FLAIR MRI.
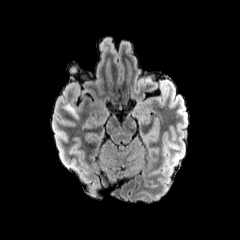
T1-weighted MR image.
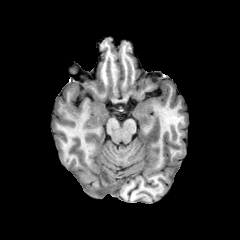
Post-contrast T1-weighted MRI.
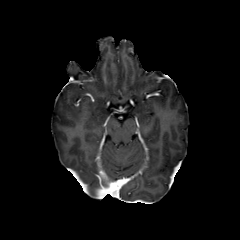
T2-weighted MRI.
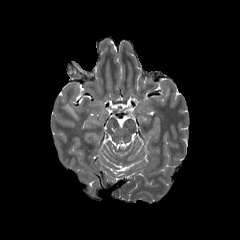
Brain
- peritumoral edema: 63:104:78:118